240x240 | Axial slice | Head
FLAIR MR image.
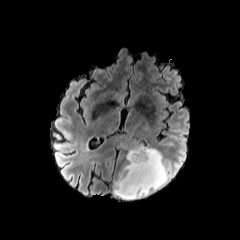
T1-weighted magnetic resonance.
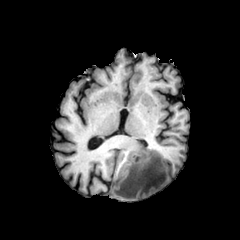
Post-contrast T1-weighted magnetic resonance.
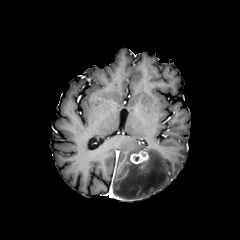
T2-weighted MR image.
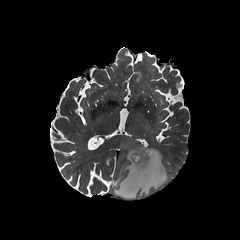
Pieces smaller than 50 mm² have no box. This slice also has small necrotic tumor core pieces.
peritumoral edema at (113,146,170,199)
enhancing tumor at (130,151,148,166)